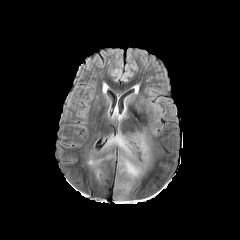
FLAIR MR.
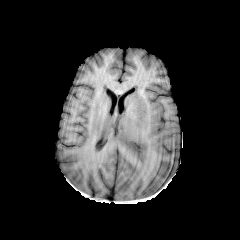
T1-weighted magnetic resonance of the same slice.
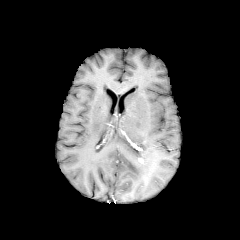
Same slice, post-contrast T1-weighted magnetic resonance.
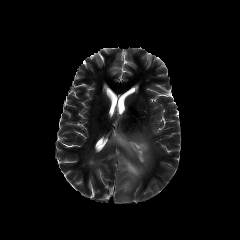
T2-weighted MR image.
Axial plane
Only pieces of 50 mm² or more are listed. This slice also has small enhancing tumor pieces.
• peritumoral edema: region(88, 159, 98, 165); region(104, 131, 149, 190)